FLAIR magnetic resonance.
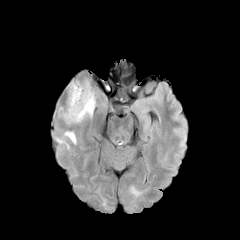
T1-weighted magnetic resonance.
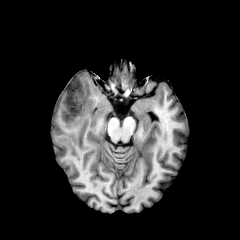
Post-contrast T1-weighted magnetic resonance.
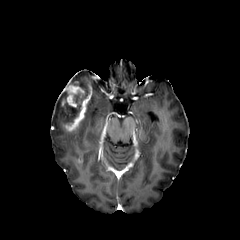
T2-weighted MRI.
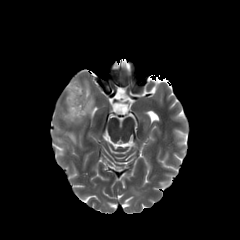
Axial view, Brain
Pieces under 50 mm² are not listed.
peritumoral edema: (left=55, top=138, right=69, bottom=148), (left=85, top=91, right=95, bottom=117), (left=64, top=132, right=76, bottom=144) | necrotic tumor core: (left=65, top=79, right=89, bottom=122) | enhancing tumor: (left=62, top=79, right=92, bottom=130)